240x240 px. Image width 240 mm.
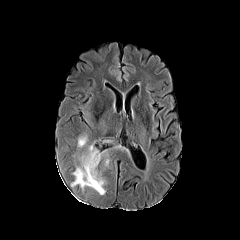
FLAIR MR image.
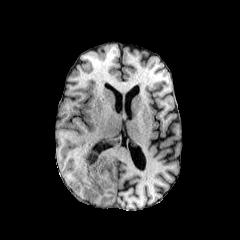
T1-weighted magnetic resonance.
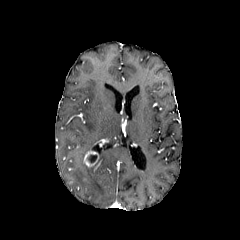
Post-contrast T1-weighted MRI of the same slice.
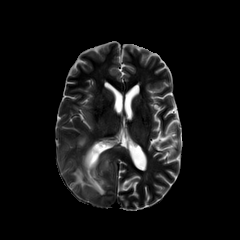
T2-weighted magnetic resonance.
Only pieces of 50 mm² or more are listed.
peritumoral edema = (left=78, top=137, right=86, bottom=147), (left=72, top=164, right=105, bottom=195), (left=88, top=145, right=101, bottom=163)
necrotic tumor core = (left=88, top=155, right=97, bottom=163)
enhancing tumor = (left=83, top=150, right=98, bottom=170)